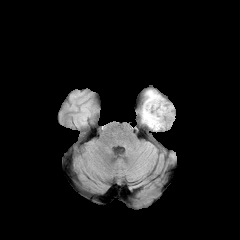
FLAIR MR.
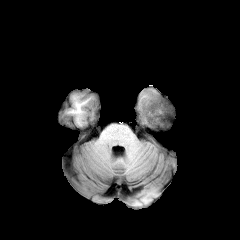
T1-weighted MRI.
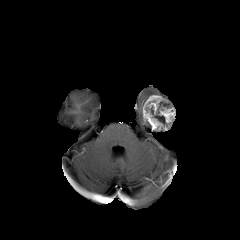
Same slice, post-contrast T1-weighted MR.
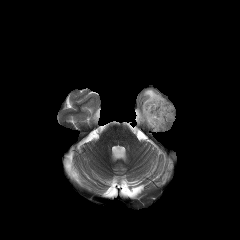
Same slice, T2-weighted MR image.
Brain
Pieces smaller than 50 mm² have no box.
peritumoral edema = 145,90,158,98
enhancing tumor = 142,95,175,131
necrotic tumor core = 154,115,165,123